FLAIR MRI.
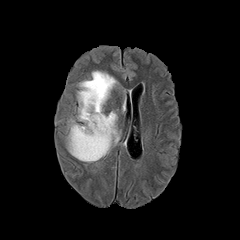
T1-weighted MRI.
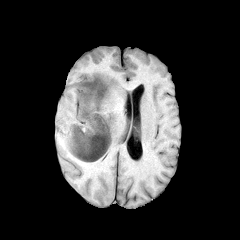
Post-contrast T1-weighted MR image.
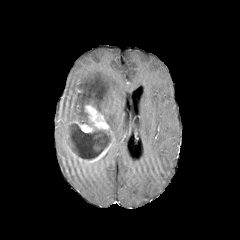
T2-weighted MR image.
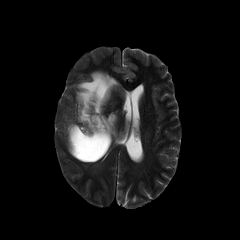
Head
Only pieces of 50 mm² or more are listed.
The largest enhancing tumor region lies within 66, 102, 112, 163. The 2 largest peritumoral edema regions appear at 67, 119, 78, 131; 77, 70, 120, 143. The necrotic tumor core is located at 70, 125, 101, 158.